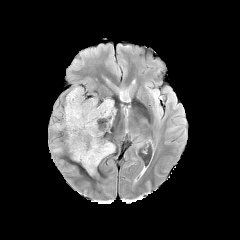
FLAIR MR.
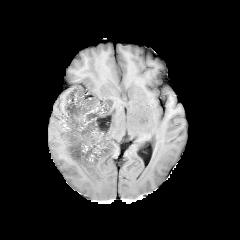
T1-weighted MR image of the same slice.
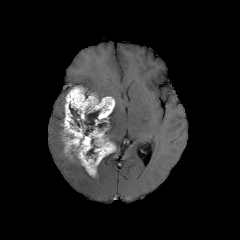
Post-contrast T1-weighted MR.
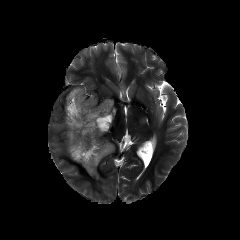
T2-weighted MRI.
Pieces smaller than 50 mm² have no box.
<segmentation>
  <enhancing_tumor>[x1=62, y1=86, x2=115, y2=176]</enhancing_tumor>
  <necrotic_tumor_core>[x1=86, y1=145, x2=97, y2=155], [x1=84, y1=110, x2=100, y2=135], [x1=69, y1=105, x2=79, y2=126], [x1=97, y1=122, x2=106, y2=129]</necrotic_tumor_core>
  <peritumoral_edema>[x1=52, y1=123, x2=63, y2=129], [x1=110, y1=107, x2=115, y2=124]</peritumoral_edema>
</segmentation>